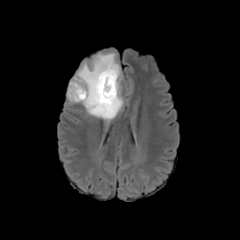
FLAIR MRI.
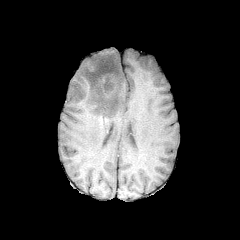
T1-weighted MR image.
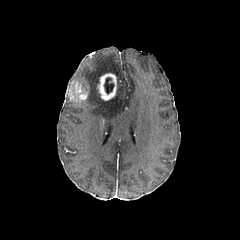
Post-contrast T1-weighted MR.
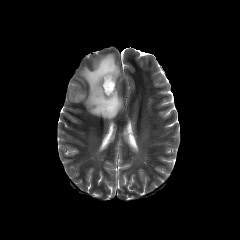
T2-weighted MRI.
Head
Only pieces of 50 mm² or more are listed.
necrotic_tumor_core:
  - <bbox>104, 77, 114, 93</bbox>
enhancing_tumor:
  - <bbox>97, 73, 116, 100</bbox>
  - <bbox>68, 81, 87, 102</bbox>
peritumoral_edema:
  - <bbox>72, 53, 123, 120</bbox>